FLAIR MR.
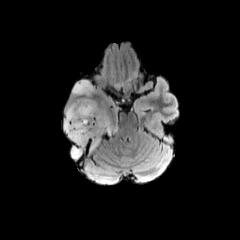
T1-weighted MR.
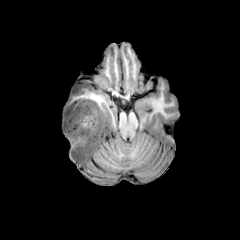
Post-contrast T1-weighted MR.
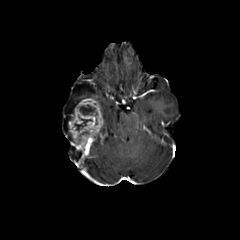
T2-weighted MRI.
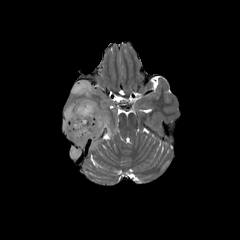
Head. Axial slice.
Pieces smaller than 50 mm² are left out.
enhancing tumor: bounding box left=68, top=98, right=104, bottom=155
peritumoral edema: bounding box left=64, top=100, right=80, bottom=138; left=72, top=80, right=93, bottom=95; left=71, top=146, right=82, bottom=158
necrotic tumor core: bounding box left=75, top=119, right=91, bottom=130; left=80, top=105, right=94, bottom=114